FLAIR MR.
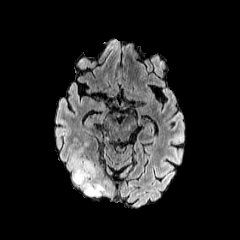
T1-weighted MRI.
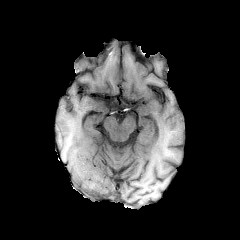
Post-contrast T1-weighted MRI.
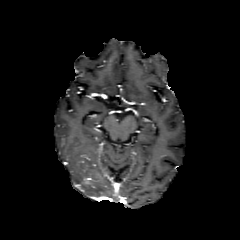
T2-weighted MRI.
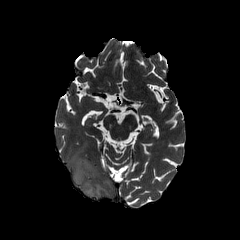
Image size 240x240. Axial view.
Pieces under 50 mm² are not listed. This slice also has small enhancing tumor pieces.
peritumoral edema: bounding box box=[71, 154, 103, 195]